FLAIR MRI.
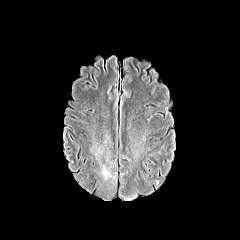
T1-weighted magnetic resonance.
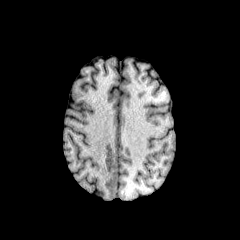
Post-contrast T1-weighted MRI.
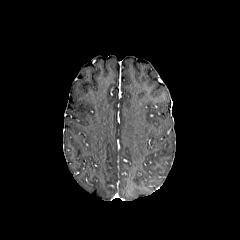
T2-weighted MRI.
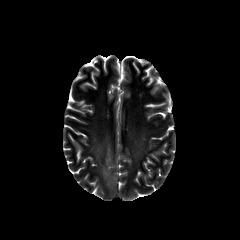
Head
<segmentation>
  <peritumoral_edema>box(90, 131, 113, 181)</peritumoral_edema>
</segmentation>